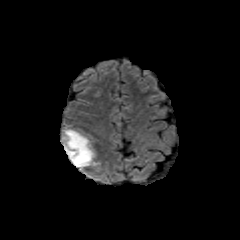
FLAIR MR.
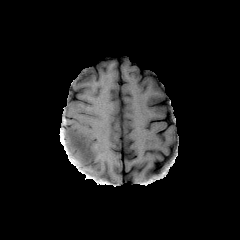
T1-weighted MR.
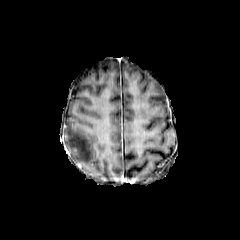
Post-contrast T1-weighted MRI.
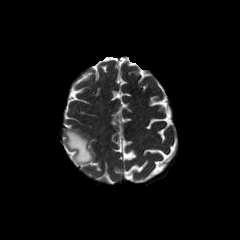
T2-weighted MR.
240x240; Axial plane
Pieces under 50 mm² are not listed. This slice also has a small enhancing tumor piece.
The largest peritumoral edema region appears at 63:128:97:169.